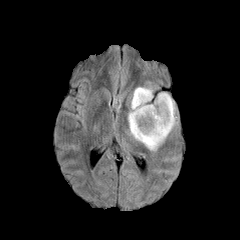
FLAIR MRI.
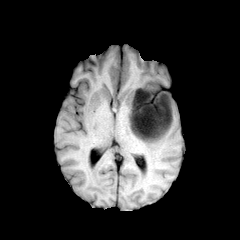
Same slice, T1-weighted magnetic resonance.
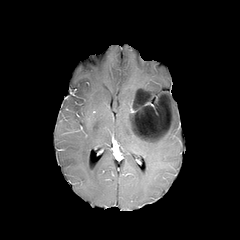
Post-contrast T1-weighted magnetic resonance of the same slice.
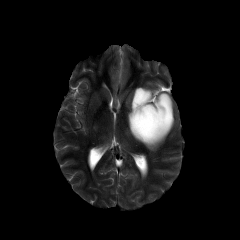
T2-weighted magnetic resonance of the same slice.
240x240
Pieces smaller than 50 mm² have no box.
The necrotic tumor core is at [x1=133, y1=91, x2=170, y2=138]. The peritumoral edema is bounded by [x1=128, y1=87, x2=176, y2=150]. The 2 largest enhancing tumor regions are located at [x1=131, y1=90, x2=146, y2=131], [x1=135, y1=94, x2=172, y2=140].